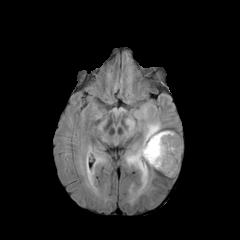
FLAIR MRI.
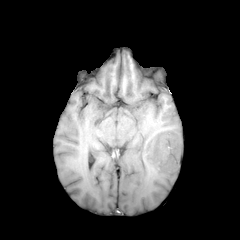
Same slice, T1-weighted MR.
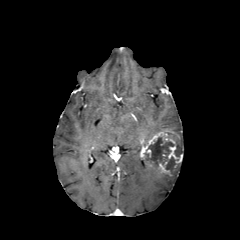
Post-contrast T1-weighted MR.
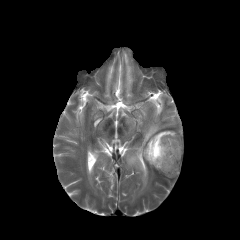
T2-weighted magnetic resonance.
240x240
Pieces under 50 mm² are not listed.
peritumoral edema: bbox=[142, 105, 147, 117]; bbox=[87, 169, 93, 185]; bbox=[96, 156, 105, 163]; bbox=[164, 163, 179, 176]; bbox=[125, 120, 163, 195]
necrotic tumor core: bbox=[174, 139, 180, 156]; bbox=[145, 137, 176, 170]
enhancing tumor: bbox=[140, 130, 182, 174]